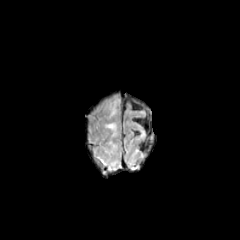
FLAIR MR.
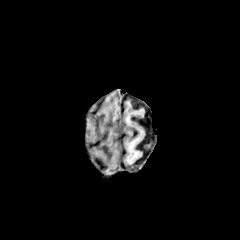
Same slice, T1-weighted magnetic resonance.
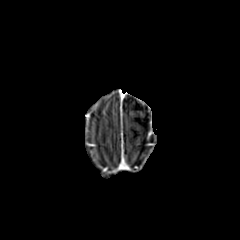
Post-contrast T1-weighted MR.
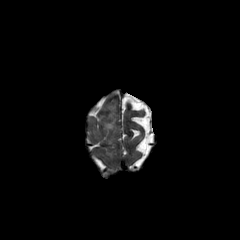
T2-weighted magnetic resonance.
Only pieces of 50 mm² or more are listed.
peritumoral_edema:
  - <bbox>106, 123, 115, 130</bbox>